FLAIR MRI.
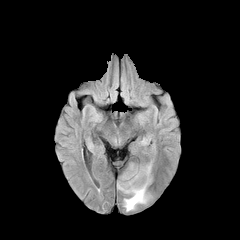
T1-weighted MRI.
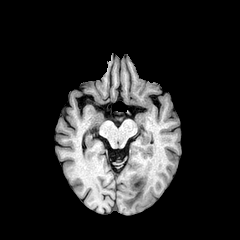
Post-contrast T1-weighted MRI.
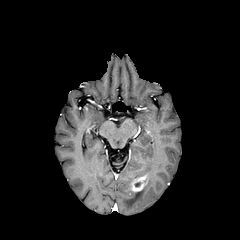
T2-weighted magnetic resonance.
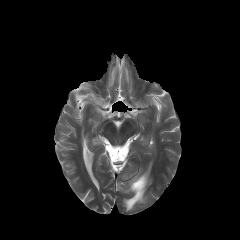
Axial plane; 240x240 px
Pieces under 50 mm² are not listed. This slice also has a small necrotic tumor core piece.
peritumoral edema = 118,164,151,211
enhancing tumor = 129,169,147,192